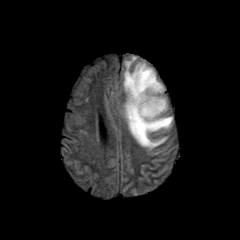
FLAIR MR image.
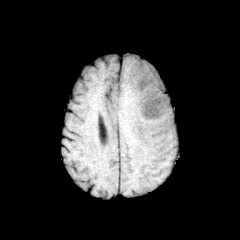
T1-weighted MR image.
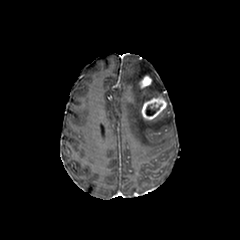
Same slice, post-contrast T1-weighted magnetic resonance.
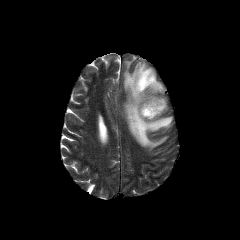
T2-weighted MR.
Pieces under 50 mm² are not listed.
<segmentation>
  <necrotic_tumor_core>region(146, 105, 160, 115)</necrotic_tumor_core>
  <enhancing_tumor>region(141, 96, 166, 120); region(139, 75, 151, 88)</enhancing_tumor>
  <peritumoral_edema>region(123, 56, 172, 149)</peritumoral_edema>
</segmentation>